Head
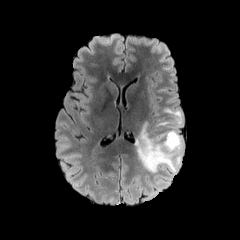
FLAIR magnetic resonance.
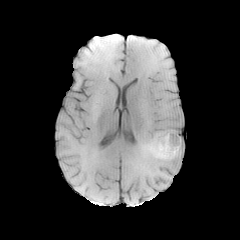
T1-weighted MRI.
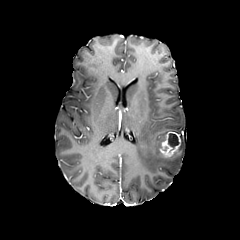
Post-contrast T1-weighted magnetic resonance.
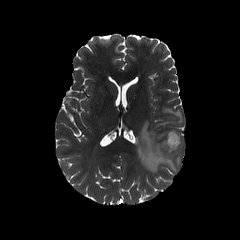
T2-weighted MRI.
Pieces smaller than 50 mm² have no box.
necrotic tumor core: <box>168,133,178,147</box> | peritumoral edema: <box>135,122,183,180</box>, <box>156,108,182,126</box> | enhancing tumor: <box>159,131,181,157</box>